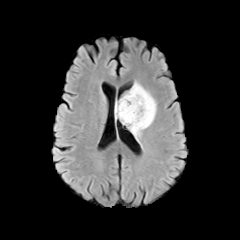
FLAIR magnetic resonance.
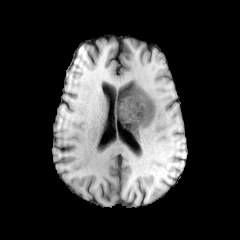
Same slice, T1-weighted MRI.
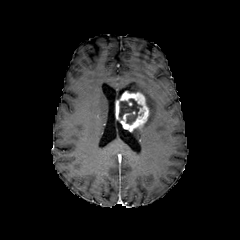
Post-contrast T1-weighted MRI.
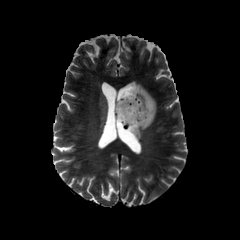
T2-weighted MR image.
Axial plane
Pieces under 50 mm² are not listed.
enhancing tumor: x1=115 y1=91 x2=149 y2=131
necrotic tumor core: x1=119 y1=99 x2=141 y2=123
peritumoral edema: x1=128 y1=82 x2=156 y2=140